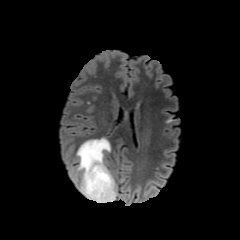
FLAIR magnetic resonance.
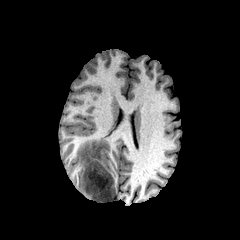
T1-weighted MRI.
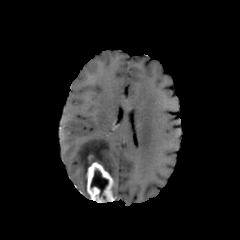
Post-contrast T1-weighted magnetic resonance of the same slice.
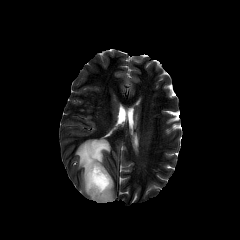
T2-weighted MRI.
Brain
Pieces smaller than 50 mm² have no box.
Findings:
- necrotic tumor core: box=[90, 170, 108, 196]
- peritumoral edema: box=[76, 138, 110, 199]
- enhancing tumor: box=[86, 155, 115, 202]